Axial plane. Brain.
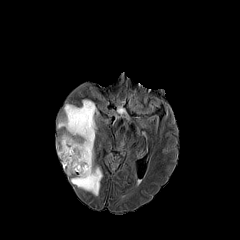
FLAIR MR.
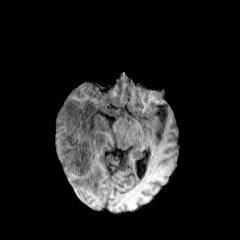
T1-weighted magnetic resonance.
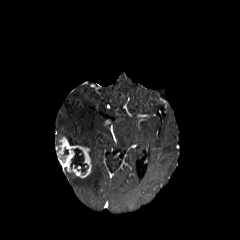
Same slice, post-contrast T1-weighted MR.
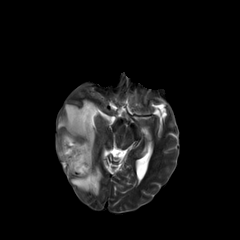
T2-weighted magnetic resonance of the same slice.
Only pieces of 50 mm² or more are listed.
Annotated regions:
* enhancing tumor: rect(56, 136, 91, 178)
* necrotic tumor core: rect(70, 148, 88, 172)
* peritumoral edema: rect(71, 167, 102, 195); rect(57, 99, 97, 164)